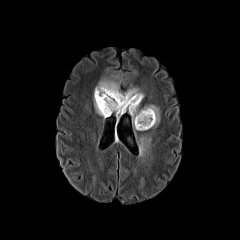
FLAIR MRI.
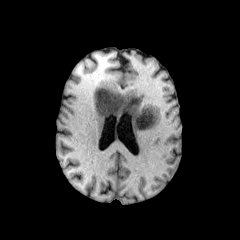
T1-weighted MR.
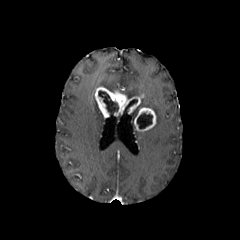
Post-contrast T1-weighted MR.
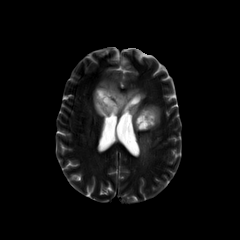
T2-weighted MRI.
240x240 px | Head
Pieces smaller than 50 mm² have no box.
The 6 largest peritumoral edema regions are bounded by [x1=130, y1=106, x2=140, y2=125], [x1=122, y1=88, x2=142, y2=97], [x1=139, y1=136, x2=151, y2=155], [x1=145, y1=104, x2=160, y2=127], [x1=93, y1=96, x2=102, y2=115], [x1=94, y1=75, x2=119, y2=94]. 3 necrotic tumor core regions are bounded by [x1=137, y1=113, x2=152, y2=128], [x1=98, y1=90, x2=118, y2=114], [x1=124, y1=99, x2=137, y2=112]. 2 enhancing tumor regions are bounded by [x1=94, y1=86, x2=144, y2=117], [x1=134, y1=107, x2=156, y2=131].